FLAIR MR.
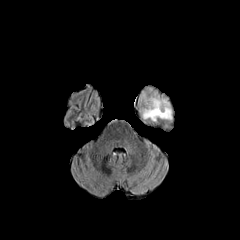
T1-weighted MR image.
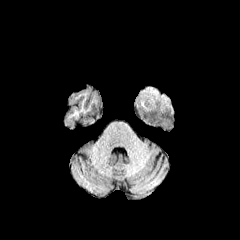
Post-contrast T1-weighted magnetic resonance.
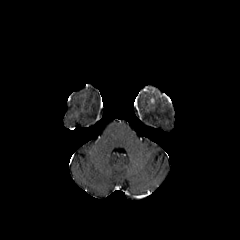
T2-weighted MR.
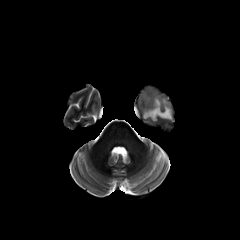
240x240 px
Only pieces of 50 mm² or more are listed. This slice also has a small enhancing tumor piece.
The largest peritumoral edema region appears at (142, 93, 172, 121).